FLAIR magnetic resonance.
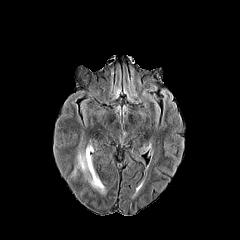
T1-weighted MR image.
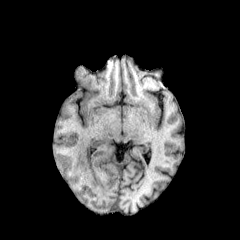
Post-contrast T1-weighted MR.
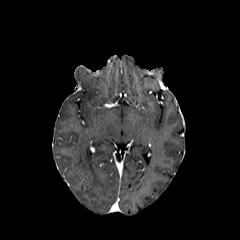
T2-weighted MRI.
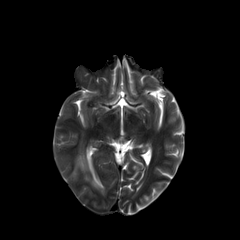
The peritumoral edema is located at box=[72, 145, 105, 193].